Axial slice | Slice 99 of 155
FLAIR MR.
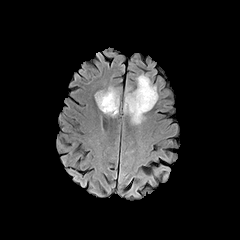
T1-weighted MR.
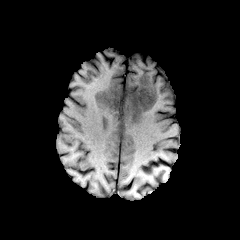
Post-contrast T1-weighted MRI.
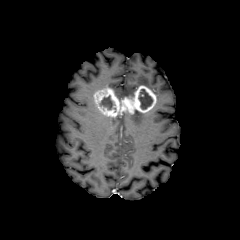
T2-weighted magnetic resonance.
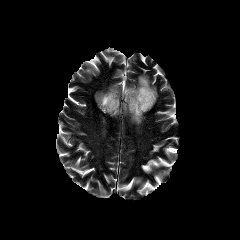
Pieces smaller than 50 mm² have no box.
enhancing tumor — box=[94, 85, 156, 117]
necrotic tumor core — box=[139, 89, 152, 109]; box=[100, 96, 112, 109]
peritumoral edema — box=[137, 74, 158, 99]; box=[109, 86, 120, 98]; box=[124, 87, 134, 96]; box=[128, 112, 144, 128]